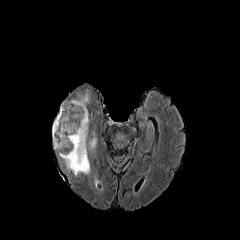
FLAIR MR.
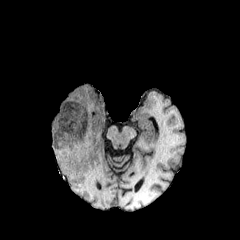
Same slice, T1-weighted MR.
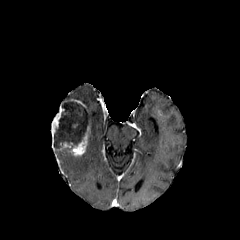
Post-contrast T1-weighted MR.
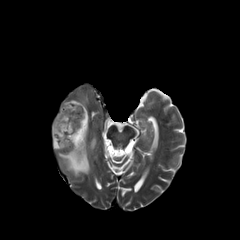
T2-weighted magnetic resonance.
240x240 px
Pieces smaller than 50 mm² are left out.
The largest necrotic tumor core region lies within {"x1": 54, "y1": 100, "x2": 89, "y2": 148}. The 3 largest enhancing tumor regions are located at {"x1": 51, "y1": 104, "x2": 64, "y2": 146}, {"x1": 70, "y1": 126, "x2": 89, "y2": 156}, {"x1": 56, "y1": 142, "x2": 72, "y2": 150}. The 3 largest peritumoral edema regions appear at {"x1": 88, "y1": 138, "x2": 96, "y2": 150}, {"x1": 76, "y1": 93, "x2": 89, "y2": 105}, {"x1": 58, "y1": 150, "x2": 90, "y2": 175}.